Axial view; 240x240 px; Image covers 240 mm x 240 mm; Slice index 67
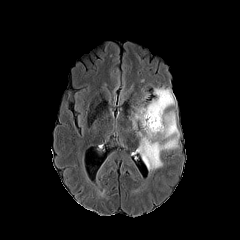
FLAIR MR.
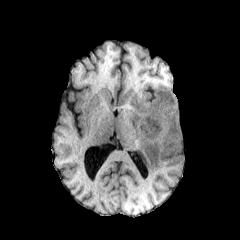
T1-weighted MRI of the same slice.
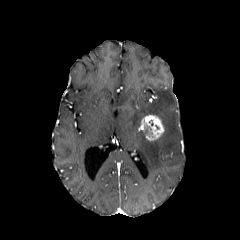
Same slice, post-contrast T1-weighted magnetic resonance.
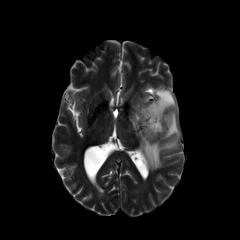
T2-weighted MR image.
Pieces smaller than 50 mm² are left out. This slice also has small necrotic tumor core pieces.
peritumoral edema — [x1=132, y1=87, x2=179, y2=170]
enhancing tumor — [x1=141, y1=114, x2=164, y2=140]